FLAIR MR.
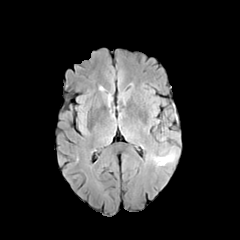
T1-weighted MR image.
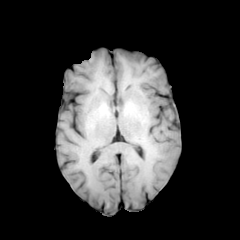
Post-contrast T1-weighted magnetic resonance.
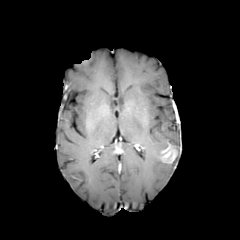
T2-weighted MR.
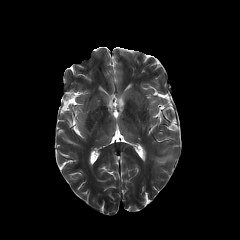
Brain
The enhancing tumor is located at box=[161, 146, 176, 162]. The peritumoral edema lies within box=[152, 156, 170, 165].